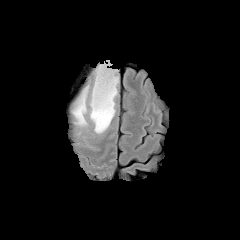
FLAIR magnetic resonance.
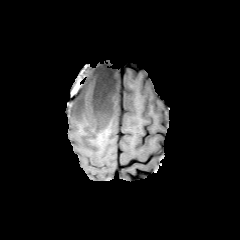
T1-weighted magnetic resonance.
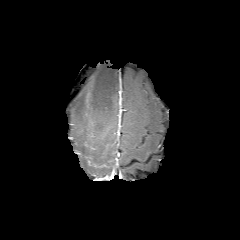
Post-contrast T1-weighted MRI of the same slice.
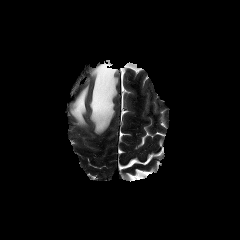
Same slice, T2-weighted MRI.
Axial plane. Brain.
<segmentation>
  <peritumoral_edema>(71, 85, 89, 125), (89, 63, 118, 133)</peritumoral_edema>
</segmentation>